FLAIR MR image.
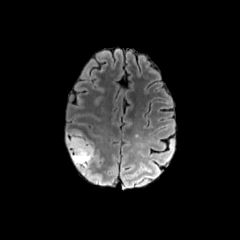
T1-weighted MR.
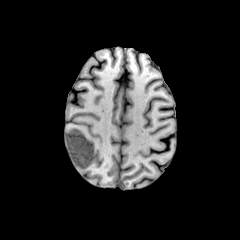
Post-contrast T1-weighted MR.
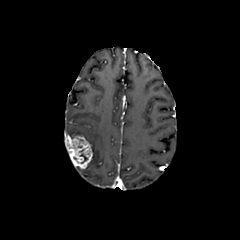
T2-weighted MRI.
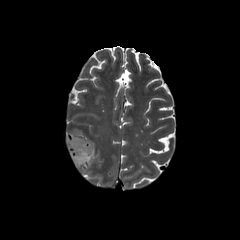
240x240 | Brain
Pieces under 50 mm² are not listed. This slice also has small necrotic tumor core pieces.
enhancing tumor at 65 134 93 169
peritumoral edema at 66 130 83 136, 79 140 97 175